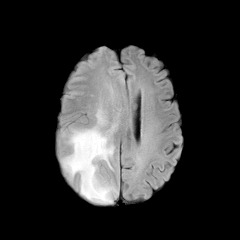
FLAIR MR image.
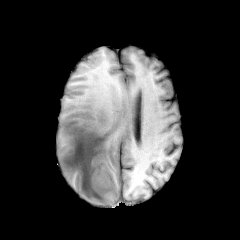
Same slice, T1-weighted MR.
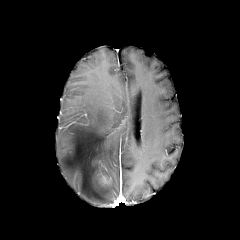
Same slice, post-contrast T1-weighted MR.
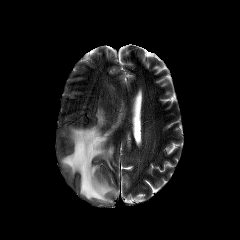
Same slice, T2-weighted magnetic resonance.
240x240 px
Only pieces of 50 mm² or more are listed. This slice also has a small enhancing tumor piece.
The peritumoral edema is at (x1=61, y1=108, x2=117, y2=203).